Image width 240 mm, 1.00 mm slice spacing. Slice 61 of 155.
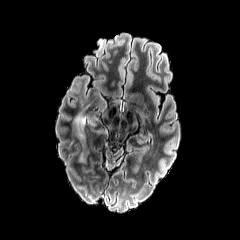
FLAIR MR image.
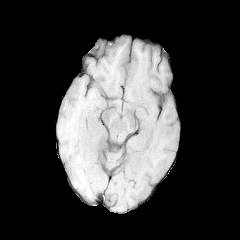
T1-weighted magnetic resonance.
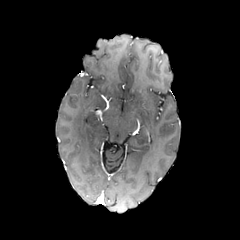
Post-contrast T1-weighted magnetic resonance of the same slice.
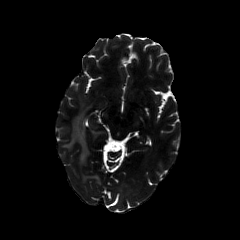
T2-weighted MR.
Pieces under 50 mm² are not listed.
The largest peritumoral edema region is at (left=75, top=112, right=87, bottom=162).